Slice 101/155 | Brain | 240x240
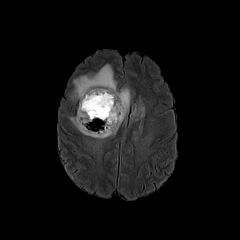
FLAIR MRI.
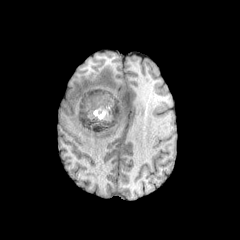
T1-weighted magnetic resonance.
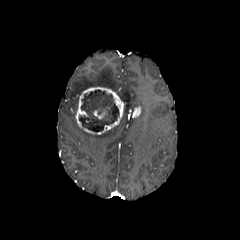
Post-contrast T1-weighted magnetic resonance.
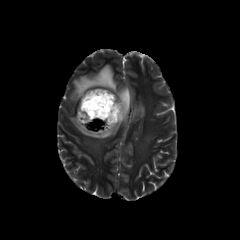
T2-weighted MR of the same slice.
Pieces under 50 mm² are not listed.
The 3 largest enhancing tumor regions are located at 132 106 140 117, 93 110 105 119, 75 87 125 134. The 2 largest peritumoral edema regions are located at 69 64 131 139, 135 104 144 120. The necrotic tumor core is located at 79 90 118 132.